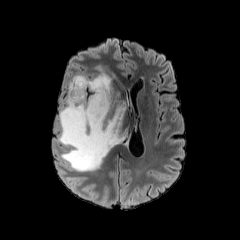
FLAIR MR image.
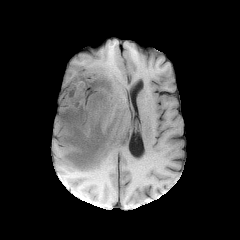
T1-weighted MR.
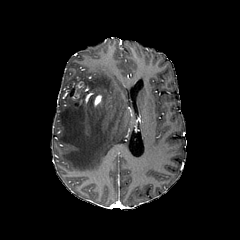
Post-contrast T1-weighted MR image of the same slice.
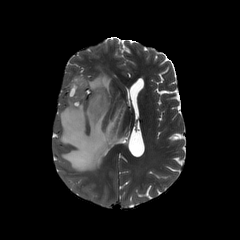
T2-weighted magnetic resonance of the same slice.
Brain | 240x240
peritumoral edema — <bbox>59, 66, 126, 171</bbox>
enhancing tumor — <bbox>94, 94, 102, 106</bbox>, <bbox>72, 81, 83, 99</bbox>